Image covers 240 mm x 240 mm | Brain
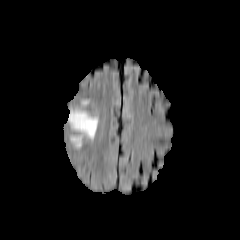
FLAIR MR image.
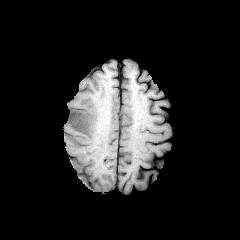
T1-weighted MR image.
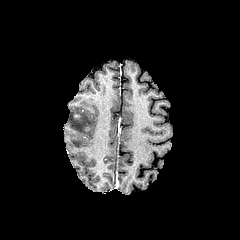
Post-contrast T1-weighted MR image.
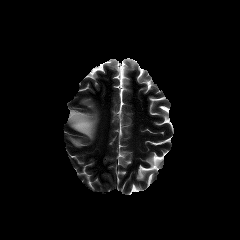
T2-weighted magnetic resonance of the same slice.
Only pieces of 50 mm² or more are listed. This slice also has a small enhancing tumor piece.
The largest peritumoral edema region lies within bbox=[68, 110, 98, 147].